Brain, Slice 61 of 155
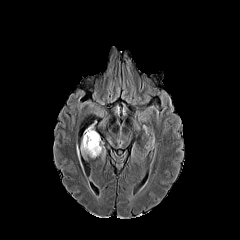
FLAIR magnetic resonance.
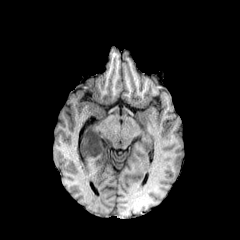
T1-weighted magnetic resonance of the same slice.
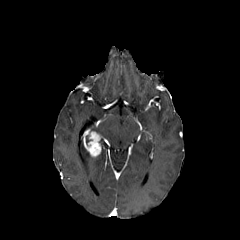
Same slice, post-contrast T1-weighted magnetic resonance.
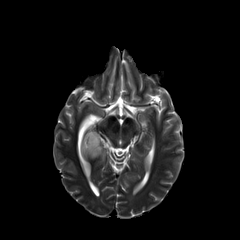
T2-weighted magnetic resonance.
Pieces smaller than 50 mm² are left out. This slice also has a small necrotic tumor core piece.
enhancing_tumor:
  - l=83, t=128, r=101, b=157
peritumoral_edema:
  - l=81, t=140, r=88, b=156